FLAIR MR image.
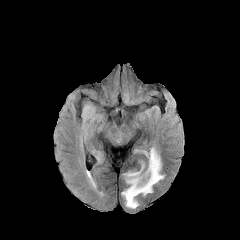
T1-weighted MR.
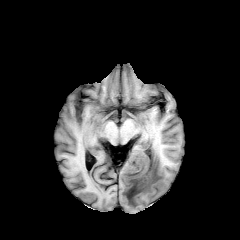
Post-contrast T1-weighted MR.
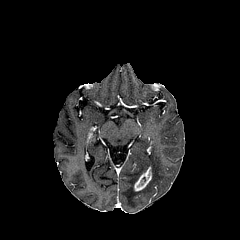
T2-weighted MR image.
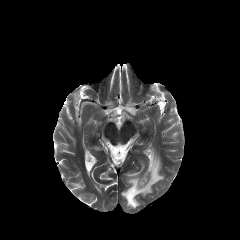
240x240 px; Axial plane
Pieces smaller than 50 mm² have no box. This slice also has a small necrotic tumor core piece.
enhancing tumor at region(133, 166, 152, 191)
peritumoral edema at region(121, 148, 164, 208)